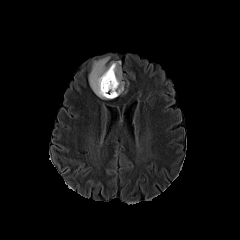
FLAIR MR.
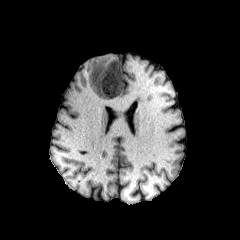
T1-weighted MR image.
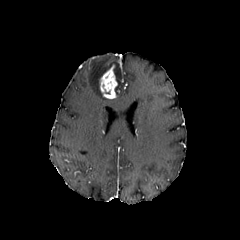
Post-contrast T1-weighted MR.
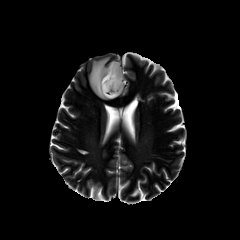
Same slice, T2-weighted MRI.
240x240 px; Axial view; Head
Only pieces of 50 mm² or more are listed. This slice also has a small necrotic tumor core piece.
The peritumoral edema appears at (left=89, top=56, right=123, bottom=99). The enhancing tumor appears at (left=99, top=64, right=117, bottom=98).